Axial view
FLAIR magnetic resonance.
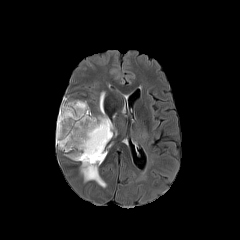
T1-weighted MRI.
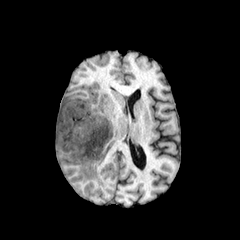
Post-contrast T1-weighted MRI.
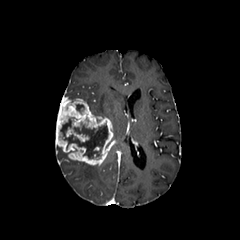
T2-weighted MR image.
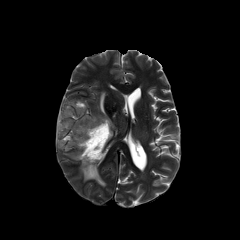
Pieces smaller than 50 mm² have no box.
necrotic tumor core: bounding box 60 119 108 158
peritumoral edema: bounding box 112 114 117 135, 80 162 106 187, 99 92 106 116
enhancing tumor: bounding box 56 92 113 165